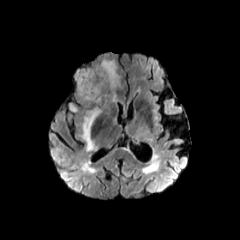
FLAIR MR image.
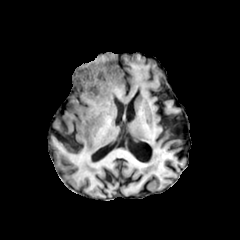
T1-weighted MR.
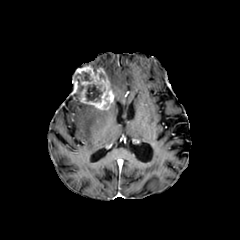
Post-contrast T1-weighted MR.
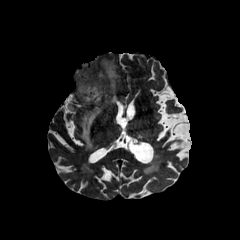
Same slice, T2-weighted MR.
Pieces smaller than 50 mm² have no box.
Segmented structures:
- enhancing tumor: <box>72,65,114,109</box>
- necrotic tumor core: <box>85,84,102,101</box>, <box>82,72,90,81</box>
- peritumoral edema: <box>80,107,102,150</box>, <box>102,60,118,89</box>